FLAIR MRI.
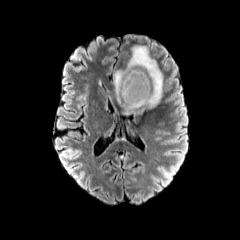
T1-weighted MR image.
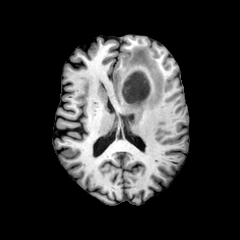
Post-contrast T1-weighted MR.
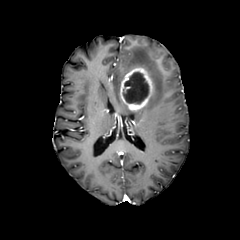
T2-weighted MRI.
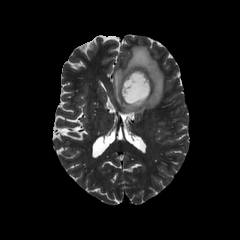
Axial plane, Head
peritumoral edema = box=[114, 46, 163, 114]
enhancing tumor = box=[120, 67, 153, 111]
necrotic tumor core = box=[123, 72, 148, 103]